Brain; Axial view; Slice index 52
FLAIR MRI.
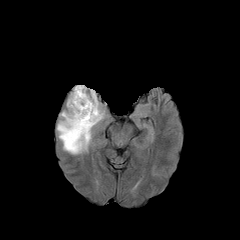
T1-weighted MR image.
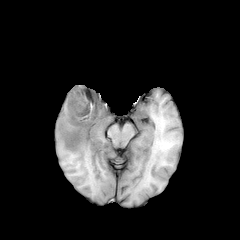
Post-contrast T1-weighted MR image.
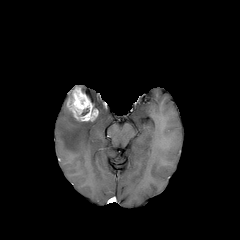
T2-weighted MRI.
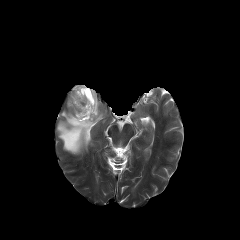
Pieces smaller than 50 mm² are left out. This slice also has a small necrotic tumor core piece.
{"enhancing_tumor": ["bbox(67, 86, 98, 121)"], "peritumoral_edema": ["bbox(57, 85, 104, 154)"]}